Slice 92 of 155.
FLAIR magnetic resonance.
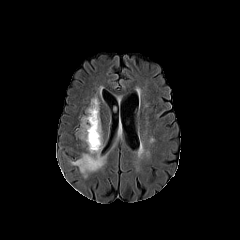
T1-weighted MRI.
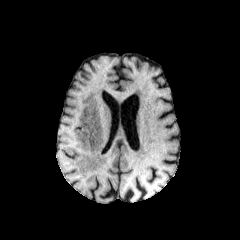
Post-contrast T1-weighted magnetic resonance.
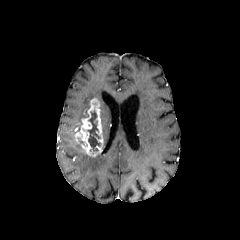
T2-weighted MR.
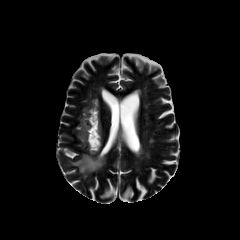
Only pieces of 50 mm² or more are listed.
{"peritumoral_edema": ["bbox(71, 153, 105, 177)"], "necrotic_tumor_core": ["bbox(88, 111, 100, 151)"], "enhancing_tumor": ["bbox(75, 98, 103, 156)"]}